Axial plane.
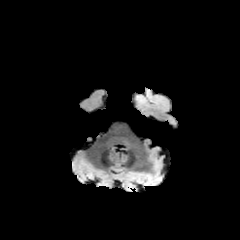
FLAIR MR.
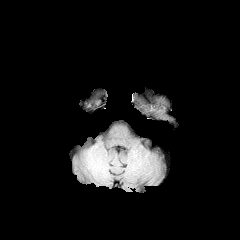
T1-weighted MRI of the same slice.
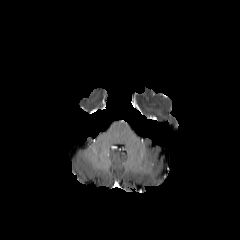
Post-contrast T1-weighted MR.
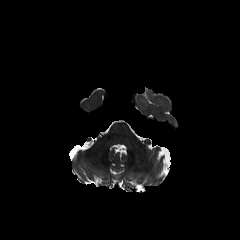
T2-weighted MR image.
The peritumoral edema is at left=136, top=89, right=158, bottom=107.